240x240. Axial view. Brain.
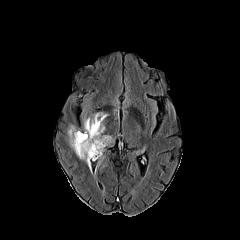
FLAIR magnetic resonance.
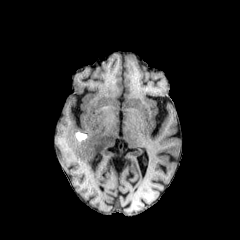
Same slice, T1-weighted magnetic resonance.
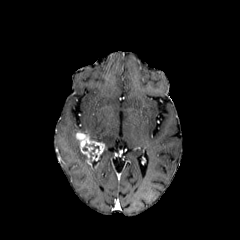
Post-contrast T1-weighted MR image.
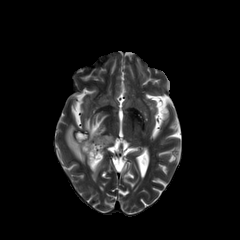
T2-weighted MR of the same slice.
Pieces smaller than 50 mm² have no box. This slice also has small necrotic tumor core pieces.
peritumoral edema: box(83, 113, 113, 145); box(66, 125, 86, 161) | enhancing tumor: box(78, 134, 105, 165)